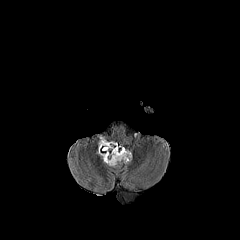
FLAIR magnetic resonance.
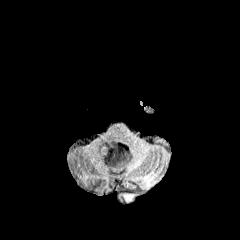
T1-weighted magnetic resonance.
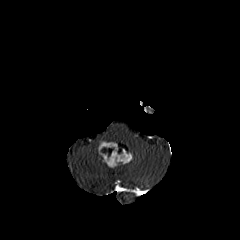
Post-contrast T1-weighted MR.
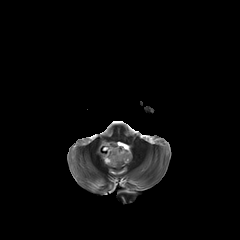
T2-weighted MRI.
Head
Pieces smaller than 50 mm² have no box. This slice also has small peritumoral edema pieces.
{"necrotic_tumor_core": ["l=101, t=147, r=113, b=157"], "enhancing_tumor": ["l=98, t=141, r=132, b=167"]}